FLAIR MR.
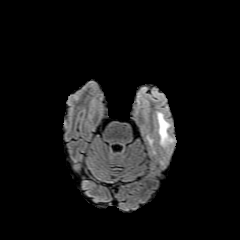
T1-weighted MR.
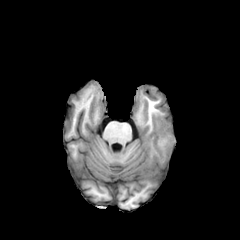
Post-contrast T1-weighted MRI.
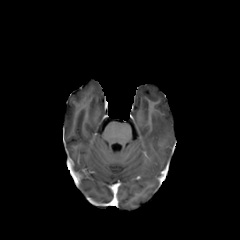
T2-weighted MR image.
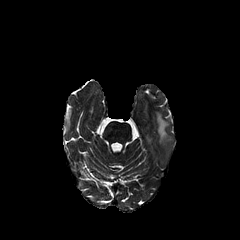
Head; Axial plane
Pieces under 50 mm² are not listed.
peritumoral edema: rect(156, 112, 172, 145)